FLAIR MR image.
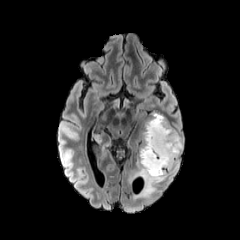
T1-weighted MR.
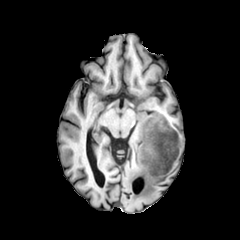
Post-contrast T1-weighted magnetic resonance.
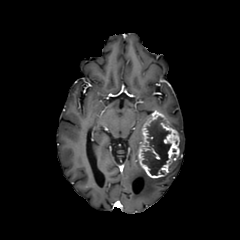
T2-weighted MRI.
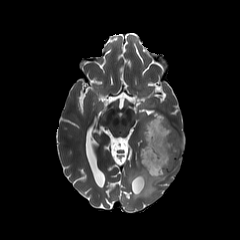
Image size 240x240, Axial slice, Brain
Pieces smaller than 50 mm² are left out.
Segmented structures:
• enhancing tumor: (138, 110, 179, 178)
• peritumoral edema: (129, 126, 183, 198)
• necrotic tumor core: (142, 116, 171, 175)